FLAIR MRI.
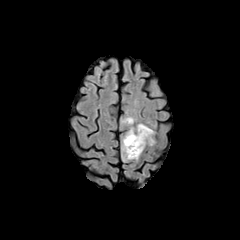
T1-weighted MRI.
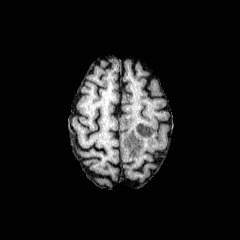
Post-contrast T1-weighted MR.
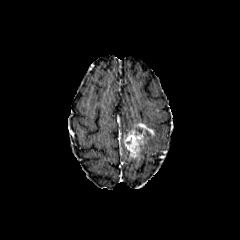
T2-weighted MR image.
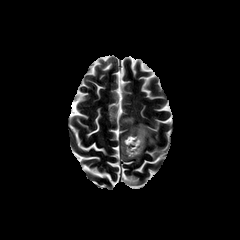
Axial view. Head. 240x240.
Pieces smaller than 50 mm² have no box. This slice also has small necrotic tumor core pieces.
The enhancing tumor is located at [x1=123, y1=123, x2=154, y2=158]. The 3 largest peritumoral edema regions are bounded by [x1=121, y1=117, x2=135, y2=130], [x1=144, y1=136, x2=154, y2=147], [x1=122, y1=137, x2=133, y2=160].